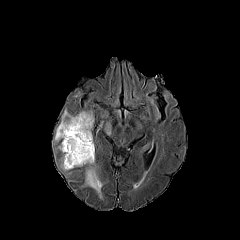
FLAIR MR image.
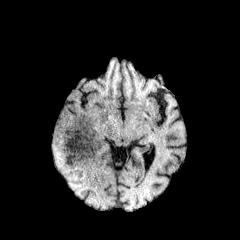
Same slice, T1-weighted MR.
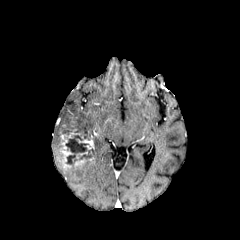
Post-contrast T1-weighted MR.
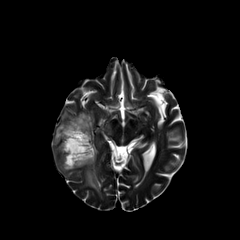
Same slice, T2-weighted MRI.
240x240 px, Axial plane, Head
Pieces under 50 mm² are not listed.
The necrotic tumor core is at x1=65 y1=135 x2=92 y2=166. The 3 largest peritumoral edema regions appear at x1=76 y1=159 x2=102 y2=198, x1=54 y1=110 x2=94 y2=142, x1=60 y1=155 x2=75 y2=170. The 3 largest enhancing tumor regions appear at x1=74 y1=151 x2=94 y2=166, x1=61 y1=132 x2=80 y2=168, x1=77 y1=136 x2=94 y2=149.